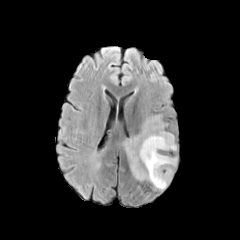
FLAIR MRI.
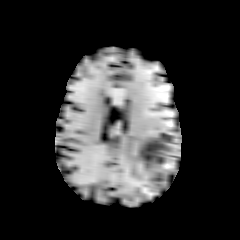
T1-weighted magnetic resonance.
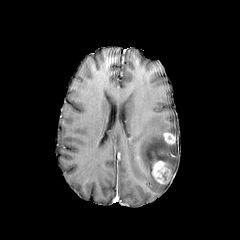
Post-contrast T1-weighted MR image of the same slice.
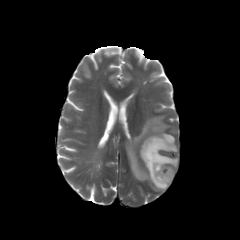
T2-weighted MR of the same slice.
Axial view
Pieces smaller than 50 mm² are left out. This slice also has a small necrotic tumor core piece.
Annotated regions:
* peritumoral edema: [x1=125, y1=116, x2=177, y2=190]
* enhancing tumor: [x1=152, y1=160, x2=171, y2=184], [x1=163, y1=132, x2=175, y2=144]